FLAIR MRI.
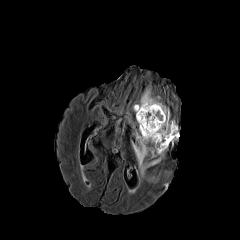
T1-weighted MRI.
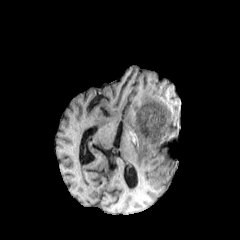
Post-contrast T1-weighted MRI.
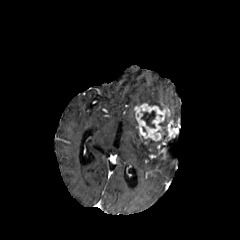
T2-weighted MRI.
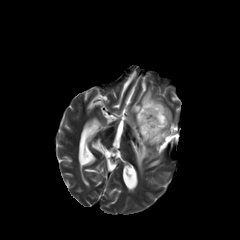
Head
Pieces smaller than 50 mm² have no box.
<segmentation>
  <peritumoral_edema>160 133 178 150, 133 87 162 109, 132 123 167 176</peritumoral_edema>
  <enhancing_tumor>134 103 178 157</enhancing_tumor>
  <necrotic_tumor_core>141 110 155 127</necrotic_tumor_core>
</segmentation>